FLAIR MR.
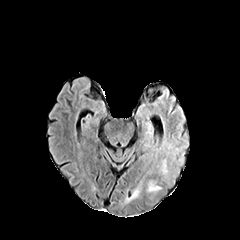
T1-weighted MR image.
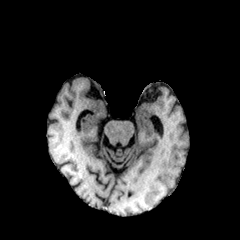
Post-contrast T1-weighted MRI.
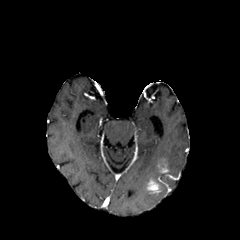
T2-weighted MRI.
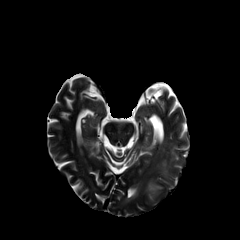
Image size 240x240
enhancing tumor at bbox=[146, 178, 162, 193]; bbox=[158, 160, 169, 173]